Axial view. Slice 121 of 155.
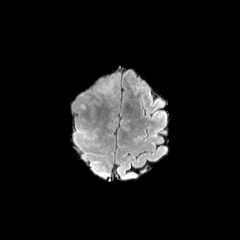
FLAIR MRI.
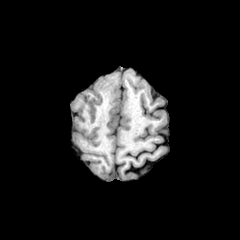
T1-weighted MR image.
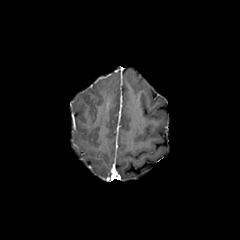
Same slice, post-contrast T1-weighted MR image.
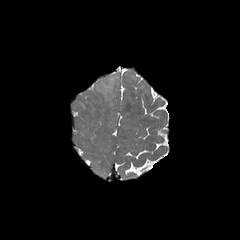
T2-weighted MR.
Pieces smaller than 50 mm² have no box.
{"peritumoral_edema": ["x1=97, y1=75, x2=118, y2=97"]}